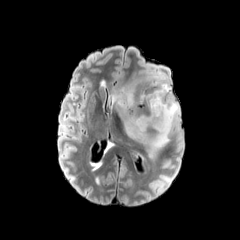
FLAIR magnetic resonance.
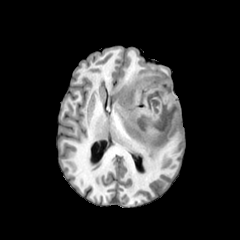
Same slice, T1-weighted MR image.
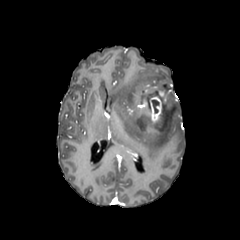
Post-contrast T1-weighted MRI.
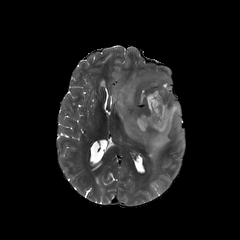
T2-weighted MR image.
240x240.
The necrotic tumor core is bounded by bbox(152, 100, 159, 113). The enhancing tumor appears at bbox(148, 91, 166, 124). The peritumoral edema is bounded by bbox(110, 69, 180, 157).